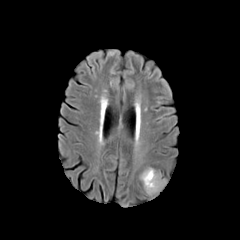
FLAIR magnetic resonance.
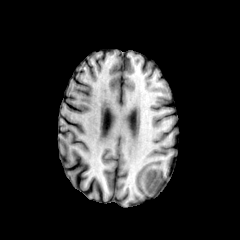
Same slice, T1-weighted MR.
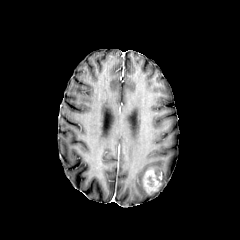
Same slice, post-contrast T1-weighted magnetic resonance.
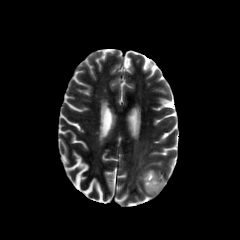
T2-weighted magnetic resonance.
Brain. Image size 240x240.
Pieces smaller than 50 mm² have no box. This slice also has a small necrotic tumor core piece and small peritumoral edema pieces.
Segmented structures:
- enhancing tumor: region(143, 169, 162, 193)